FLAIR MRI.
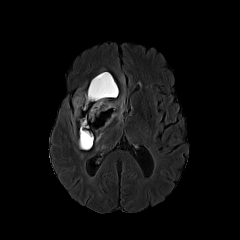
T1-weighted MRI.
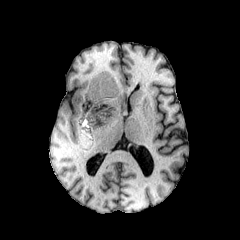
Post-contrast T1-weighted MR image.
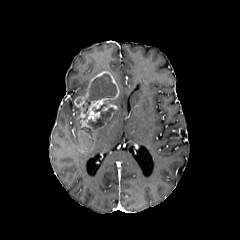
T2-weighted magnetic resonance.
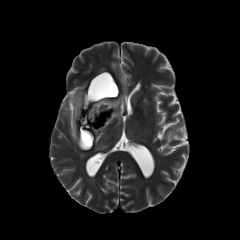
Brain
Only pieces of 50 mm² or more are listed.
{
  "enhancing_tumor": [
    "<bbox>74, 71, 118, 149</bbox>"
  ],
  "necrotic_tumor_core": [
    "<bbox>82, 74, 116, 120</bbox>",
    "<bbox>87, 108, 113, 130</bbox>",
    "<bbox>80, 127, 92, 147</bbox>"
  ],
  "peritumoral_edema": [
    "<bbox>111, 87, 125, 122</bbox>",
    "<bbox>71, 91, 85, 133</bbox>",
    "<bbox>95, 129, 103, 142</bbox>"
  ]
}